Head; Axial plane; Slice index 80; Image covers 240 mm x 240 mm
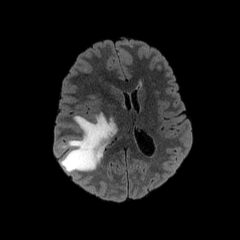
FLAIR MRI.
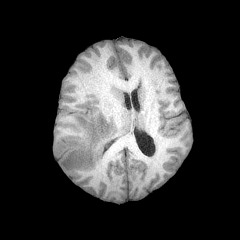
T1-weighted MRI of the same slice.
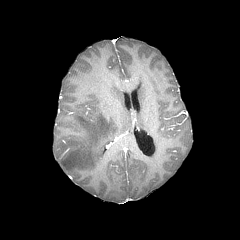
Same slice, post-contrast T1-weighted MR image.
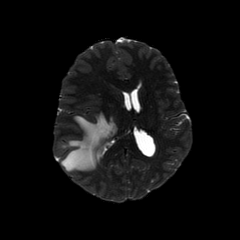
T2-weighted MR.
{"peritumoral_edema": ["60,113,117,172"]}